Axial plane | Image width 240 mm
FLAIR magnetic resonance.
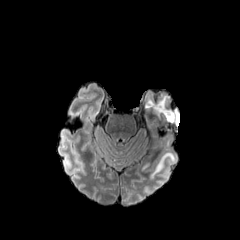
T1-weighted MRI.
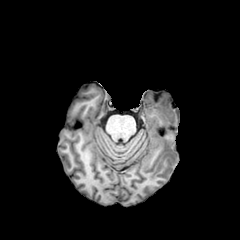
Post-contrast T1-weighted MRI.
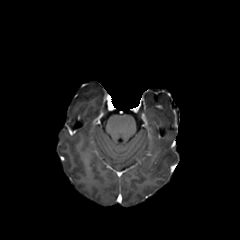
T2-weighted MRI.
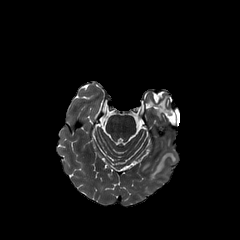
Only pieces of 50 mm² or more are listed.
{
  "peritumoral_edema": [
    "(144,98,176,123)",
    "(150,152,176,178)"
  ]
}